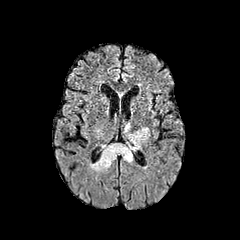
FLAIR MRI.
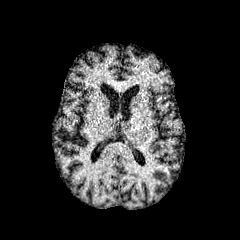
T1-weighted MRI of the same slice.
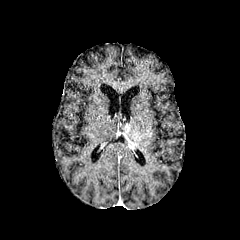
Post-contrast T1-weighted MRI of the same slice.
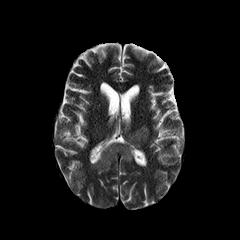
T2-weighted MR of the same slice.
240x240 px
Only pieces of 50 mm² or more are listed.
Findings:
* peritumoral edema: x1=134, y1=127, x2=149, y2=148; x1=92, y1=143, x2=132, y2=170; x1=128, y1=131, x2=135, y2=143
* enhancing tumor: x1=136, y1=131, x2=147, y2=144